FLAIR MRI.
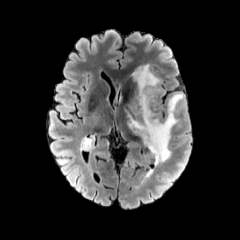
T1-weighted MRI.
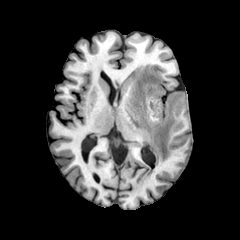
Post-contrast T1-weighted MR.
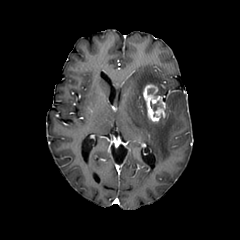
T2-weighted magnetic resonance.
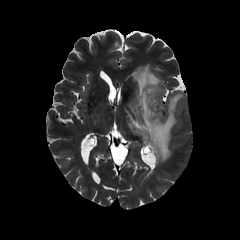
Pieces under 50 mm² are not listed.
The peritumoral edema lies within left=128, top=64, right=183, bottom=164. The enhancing tumor is at left=142, top=84, right=165, bottom=122. The largest necrotic tumor core region is located at left=150, top=101, right=160, bottom=111.